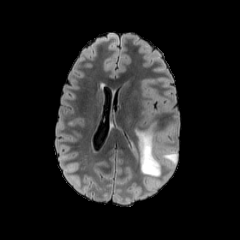
FLAIR MR.
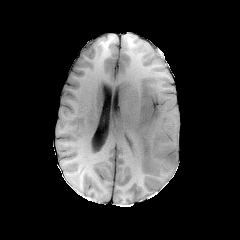
T1-weighted MR image.
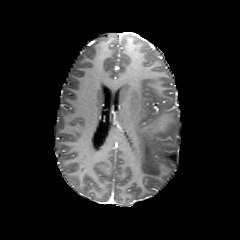
Post-contrast T1-weighted magnetic resonance.
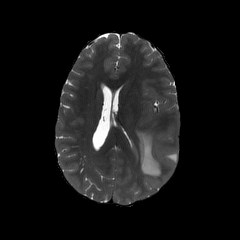
T2-weighted MR.
Axial plane; Head; 240x240
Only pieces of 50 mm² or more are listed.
The 2 largest peritumoral edema regions are bounded by left=159, top=151, right=177, bottom=166; left=136, top=122, right=160, bottom=176.